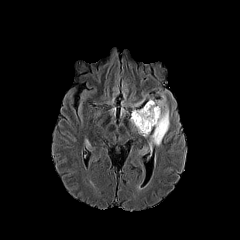
FLAIR MR image.
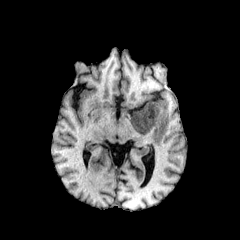
T1-weighted MR of the same slice.
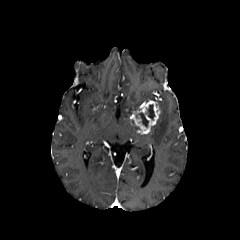
Post-contrast T1-weighted MR.
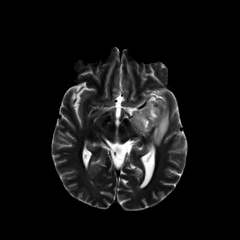
T2-weighted MRI of the same slice.
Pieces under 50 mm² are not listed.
peritumoral edema: bounding box x1=150, y1=95, x2=169, y2=146; x1=130, y1=94, x2=149, y2=107
necrotic tumor core: bounding box x1=138, y1=104, x2=154, y2=127
enhancing tumor: bounding box x1=131, y1=100, x2=160, y2=134